Axial view, Image width 240 mm, 1.00 mm slice spacing, Head
FLAIR magnetic resonance.
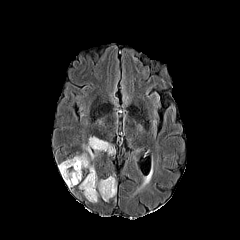
T1-weighted MR image.
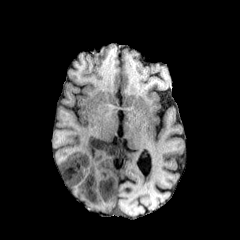
Post-contrast T1-weighted magnetic resonance.
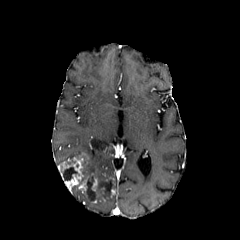
T2-weighted MRI.
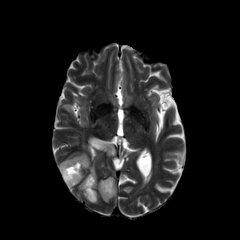
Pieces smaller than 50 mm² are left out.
necrotic tumor core at bbox(86, 176, 96, 200); bbox(104, 179, 112, 194); bbox(63, 167, 77, 180)
enhancing tumor at bbox(58, 153, 88, 189); bbox(78, 173, 100, 197)
peritumoral edema at bbox(83, 145, 95, 160); bbox(101, 193, 115, 201); bbox(88, 135, 114, 153); bbox(98, 179, 105, 188); bbox(84, 160, 97, 178)